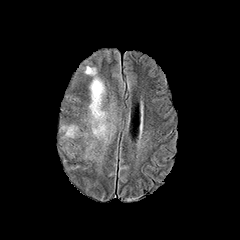
FLAIR MR image.
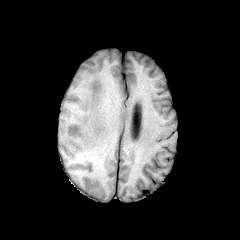
T1-weighted MR.
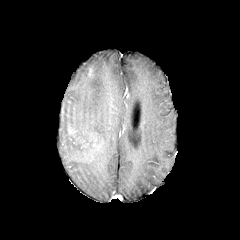
Same slice, post-contrast T1-weighted MR image.
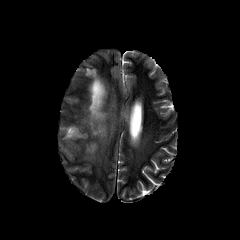
T2-weighted MR image of the same slice.
Image size 240x240
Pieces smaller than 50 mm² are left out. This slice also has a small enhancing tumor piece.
peritumoral edema: 85 67 96 76, 89 77 106 137, 62 125 77 137